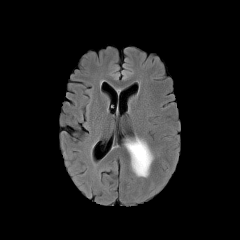
FLAIR MR.
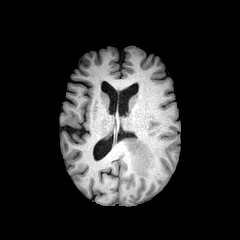
T1-weighted MR.
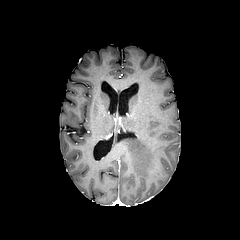
Same slice, post-contrast T1-weighted MR image.
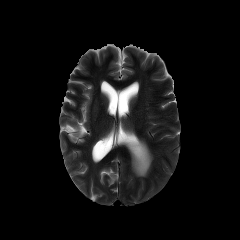
T2-weighted MRI of the same slice.
Head
Segmented structures:
• peritumoral edema: bbox=[125, 137, 153, 176]